FLAIR magnetic resonance.
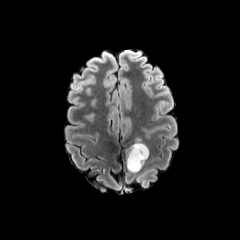
T1-weighted magnetic resonance.
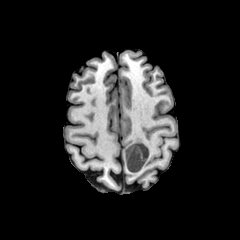
Post-contrast T1-weighted MR.
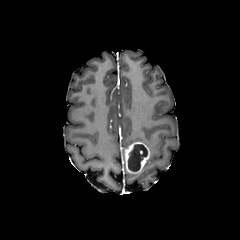
T2-weighted MR.
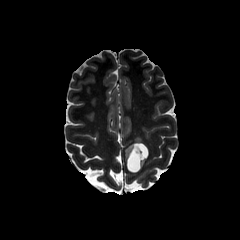
240x240
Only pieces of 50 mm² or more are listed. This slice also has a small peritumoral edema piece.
necrotic tumor core: [128, 144, 147, 171]
enhancing tumor: [125, 142, 149, 173]